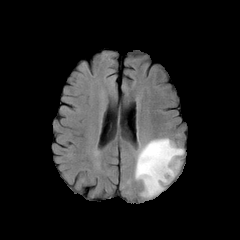
FLAIR MR.
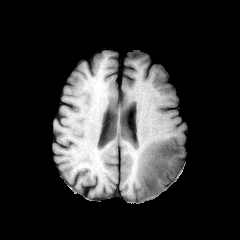
T1-weighted MRI.
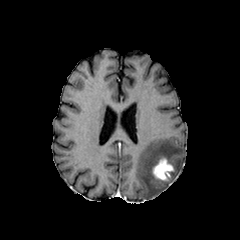
Same slice, post-contrast T1-weighted MR.
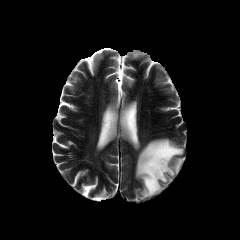
T2-weighted MRI of the same slice.
Axial plane. 240x240 px. Head.
The peritumoral edema appears at 135,138,184,198. The enhancing tumor appears at 152,157,174,181.